Axial plane. Image width 240 mm, 1.00 mm slice spacing. 240x240 px. Slice 75 of 155.
FLAIR MRI.
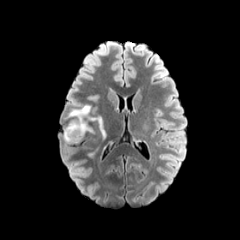
T1-weighted MR.
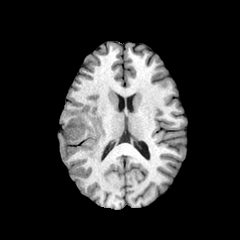
Post-contrast T1-weighted MR image.
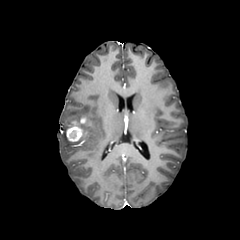
T2-weighted MRI.
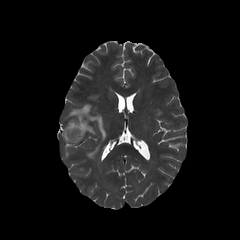
peritumoral edema: bounding box x1=86 y1=148 x2=98 y2=156, x1=63 y1=104 x2=108 y2=143
enhancing tumor: bounding box x1=66 y1=118 x2=85 y2=141